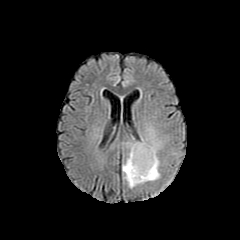
FLAIR MRI.
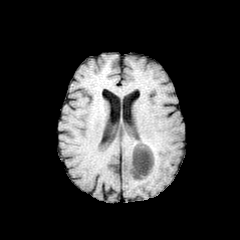
T1-weighted MR.
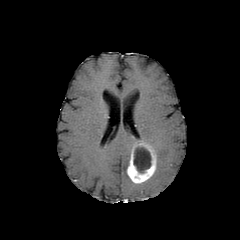
Post-contrast T1-weighted MR of the same slice.
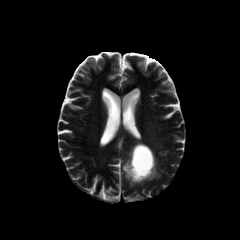
Same slice, T2-weighted MR.
Axial plane. Brain.
The peritumoral edema is located at (left=121, top=128, right=162, bottom=188). The enhancing tumor is located at (left=127, top=142, right=156, bottom=183). The necrotic tumor core lies within (left=134, top=147, right=151, bottom=172).